Brain, Image covers 240 mm x 240 mm
FLAIR MR.
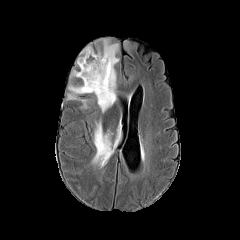
T1-weighted MRI.
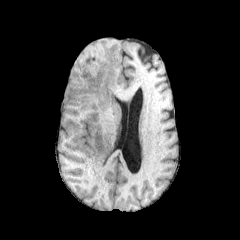
Post-contrast T1-weighted magnetic resonance.
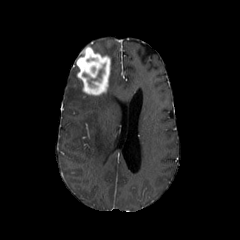
T2-weighted MR.
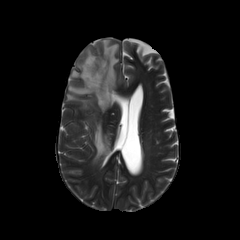
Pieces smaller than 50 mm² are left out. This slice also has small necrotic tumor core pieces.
The 3 largest peritumoral edema regions are located at 93:122:111:164, 67:85:89:108, 96:39:118:112. The enhancing tumor is at 76:46:110:95.